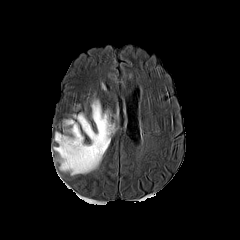
FLAIR MR.
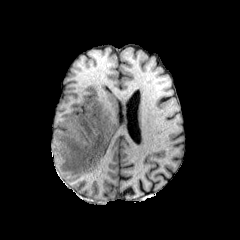
T1-weighted MRI.
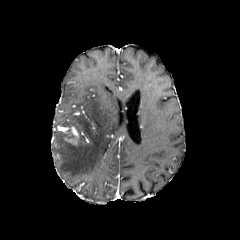
Post-contrast T1-weighted MR image of the same slice.
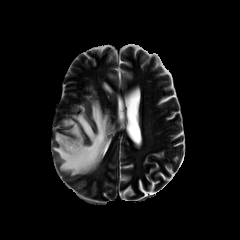
T2-weighted MR of the same slice.
Head; Image size 240x240
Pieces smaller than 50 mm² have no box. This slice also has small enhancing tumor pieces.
Findings:
- peritumoral edema: (left=53, top=100, right=114, bottom=175)